Brain.
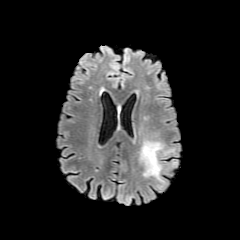
FLAIR magnetic resonance.
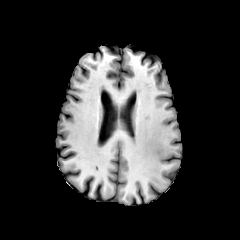
T1-weighted MR image.
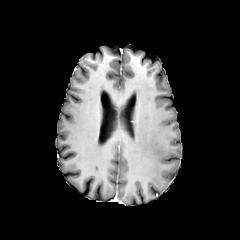
Post-contrast T1-weighted magnetic resonance.
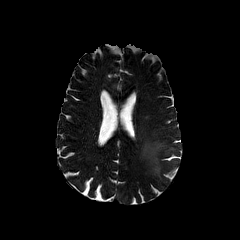
Same slice, T2-weighted MR image.
peritumoral_edema:
  - [140, 141, 163, 179]